FLAIR MR image.
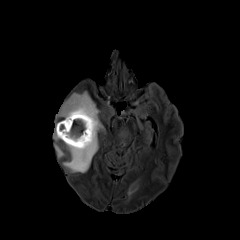
T1-weighted MR image.
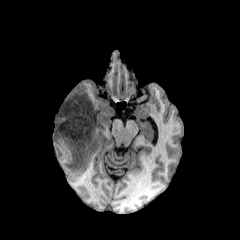
Post-contrast T1-weighted magnetic resonance.
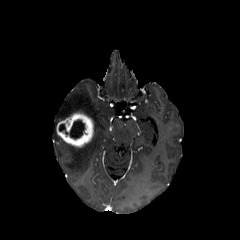
T2-weighted MR image.
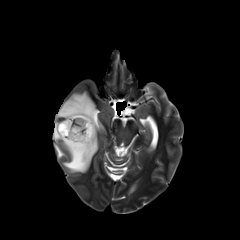
240x240, Head, Axial slice
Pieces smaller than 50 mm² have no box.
necrotic tumor core — box=[59, 120, 84, 138]
peritumoral edema — box=[56, 91, 104, 172]; box=[54, 144, 65, 158]
enhancing tumor — box=[56, 112, 94, 147]